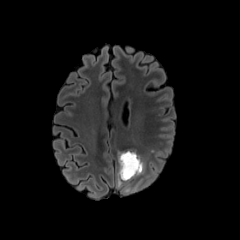
FLAIR MR.
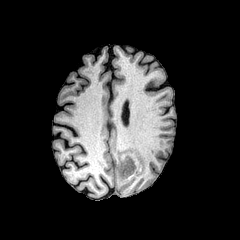
Same slice, T1-weighted MRI.
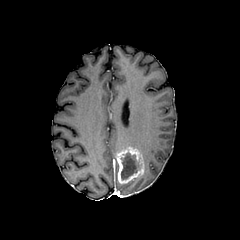
Same slice, post-contrast T1-weighted MRI.
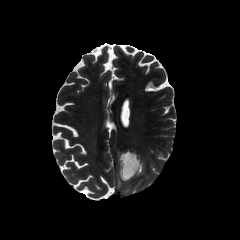
T2-weighted MR of the same slice.
Axial slice. Head.
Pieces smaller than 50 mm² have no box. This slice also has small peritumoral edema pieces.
necrotic tumor core: box(121, 153, 138, 179) | enhancing tumor: box(116, 148, 144, 183)